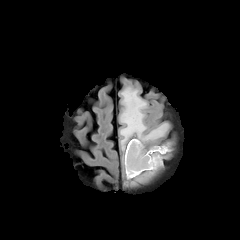
FLAIR MR image.
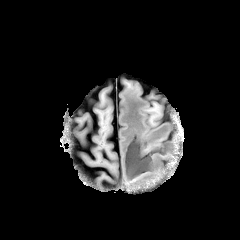
Same slice, T1-weighted magnetic resonance.
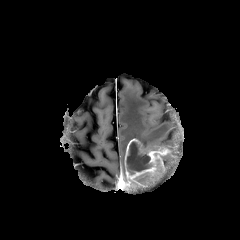
Post-contrast T1-weighted MR image of the same slice.
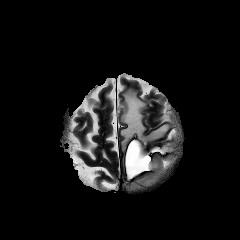
T2-weighted magnetic resonance.
Axial view
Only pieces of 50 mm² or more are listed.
enhancing tumor: bounding box (x1=124, y1=138, x2=170, y2=181)
necrotic tumor core: bounding box (x1=126, y1=142, x2=151, y2=174)
peritumoral edema: bounding box (x1=120, y1=89, x2=168, y2=152)